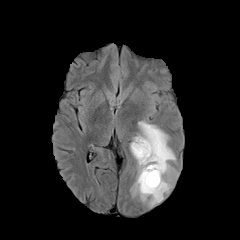
FLAIR magnetic resonance.
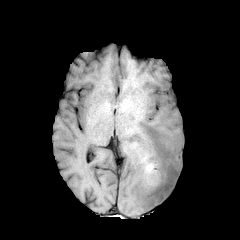
T1-weighted MR image.
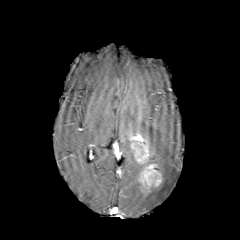
Post-contrast T1-weighted MR image.
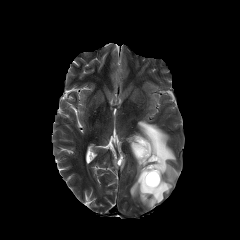
T2-weighted MR.
Axial plane | Brain | Image size 240x240
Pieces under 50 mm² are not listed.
* necrotic tumor core: (x1=149, y1=175, x2=156, y2=182)
* peritumoral edema: (x1=131, y1=120, x2=178, y2=207)
* enhancing tumor: (x1=139, y1=164, x2=161, y2=192), (x1=131, y1=135, x2=149, y2=163)